FLAIR MR image.
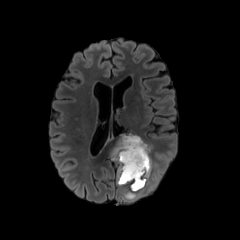
T1-weighted MR.
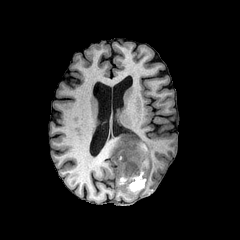
Post-contrast T1-weighted MR image.
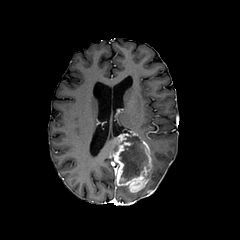
T2-weighted MRI.
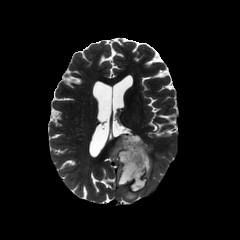
Image size 240x240. Axial view.
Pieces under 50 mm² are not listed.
necrotic tumor core = rect(119, 136, 147, 180)
enhancing tumor = rect(110, 134, 152, 192)
peritumoral edema = rect(122, 191, 136, 199); rect(146, 159, 159, 190)